FLAIR MRI.
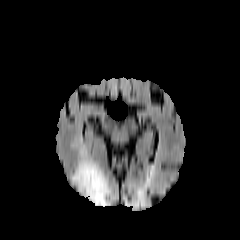
T1-weighted MR image.
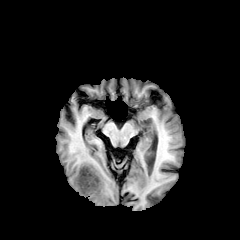
Post-contrast T1-weighted MR.
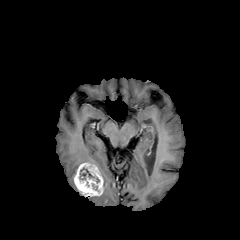
T2-weighted magnetic resonance.
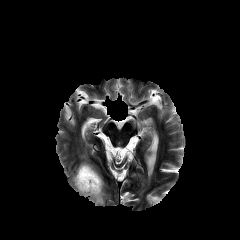
Brain, Axial slice, 240x240 px
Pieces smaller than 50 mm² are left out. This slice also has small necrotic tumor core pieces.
enhancing_tumor:
  - x1=74 y1=162 x2=103 y2=196
peritumoral_edema:
  - x1=88 y1=165 x2=112 y2=206
  - x1=71 y1=148 x2=95 y2=184